FLAIR MRI.
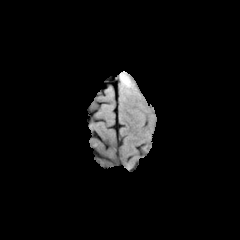
T1-weighted magnetic resonance.
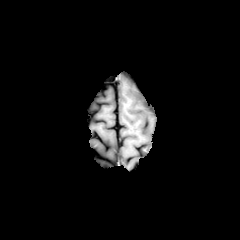
Post-contrast T1-weighted magnetic resonance.
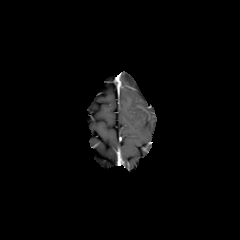
T2-weighted MR.
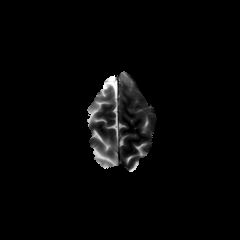
Head | Image size 240x240 | Axial slice
• peritumoral edema: (x1=121, y1=74, x2=131, y2=85)